FLAIR MRI.
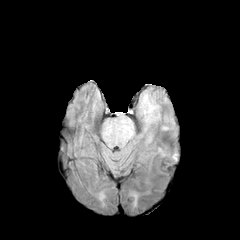
T1-weighted magnetic resonance.
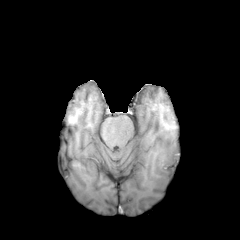
Post-contrast T1-weighted MR image.
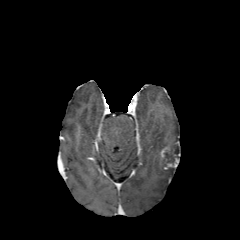
T2-weighted MR image.
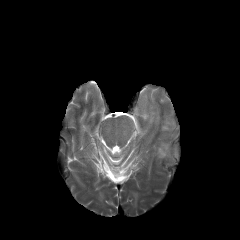
Axial view | Image size 240x240
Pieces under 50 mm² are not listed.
Segmented structures:
• necrotic tumor core: 165, 150, 174, 162
• enhancing tumor: 160, 145, 178, 166
• peritumoral edema: 172, 142, 179, 161; 140, 95, 158, 122; 157, 141, 171, 157